FLAIR MR.
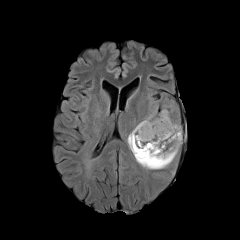
T1-weighted MRI.
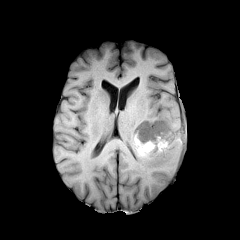
Post-contrast T1-weighted MR.
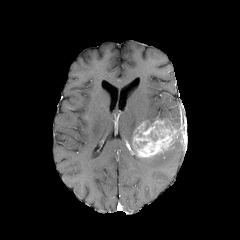
T2-weighted magnetic resonance.
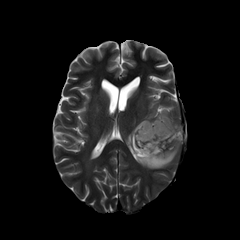
Axial view
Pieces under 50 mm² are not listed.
enhancing_tumor:
  - x1=133 y1=120 x2=177 y2=157
necrotic_tumor_core:
  - x1=135 y1=141 x2=148 y2=148
peritumoral_edema:
  - x1=127 y1=109 x2=182 y2=169